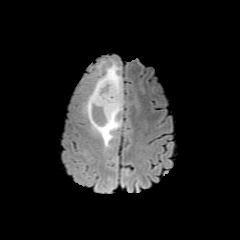
FLAIR MR.
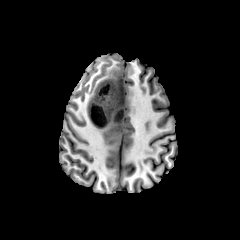
Same slice, T1-weighted magnetic resonance.
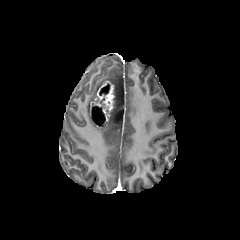
Post-contrast T1-weighted magnetic resonance of the same slice.
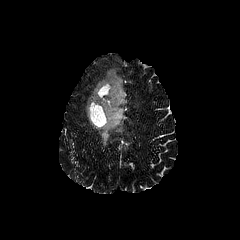
T2-weighted MRI of the same slice.
Axial slice. Brain.
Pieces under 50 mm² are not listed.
Segmented structures:
• necrotic tumor core: [99, 83, 110, 95], [91, 105, 105, 125]
• enhancing tumor: [89, 81, 114, 127]
• peritumoral edema: [85, 62, 123, 147]